Image covers 240 mm x 240 mm
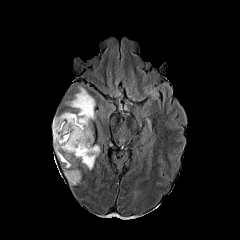
FLAIR MR image.
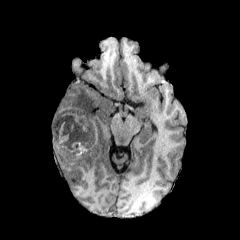
T1-weighted magnetic resonance.
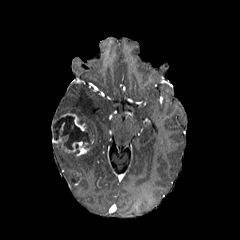
Post-contrast T1-weighted magnetic resonance.
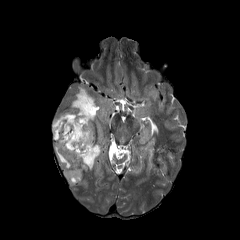
Same slice, T2-weighted MR.
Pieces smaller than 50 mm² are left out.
The 6 largest peritumoral edema regions are located at x1=52 y1=116 x2=60 y2=136, x1=54 y1=143 x2=71 y2=168, x1=65 y1=169 x2=81 y2=184, x1=74 y1=144 x2=100 y2=169, x1=70 y1=87 x2=95 y2=132, x1=145 y1=87 x2=158 y2=99. The largest necrotic tumor core region is bounded by x1=54 y1=116 x2=92 y2=150. The 2 largest enhancing tumor regions are located at x1=64 y1=141 x2=90 y2=156, x1=60 y1=113 x2=86 y2=131.